FLAIR magnetic resonance.
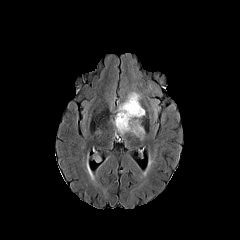
T1-weighted magnetic resonance.
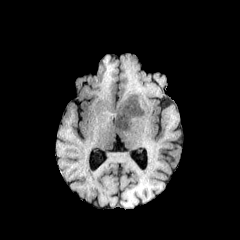
Post-contrast T1-weighted magnetic resonance.
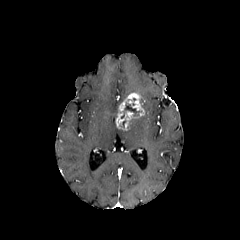
T2-weighted magnetic resonance.
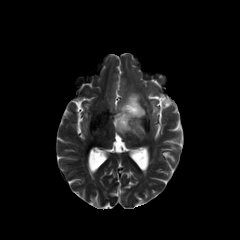
240x240 | Axial plane
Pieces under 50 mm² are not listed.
Annotated regions:
* necrotic tumor core: (left=121, top=103, right=141, bottom=118)
* peritumoral edema: (left=115, top=119, right=144, bottom=139)
* enhancing tumor: (left=115, top=93, right=144, bottom=130)